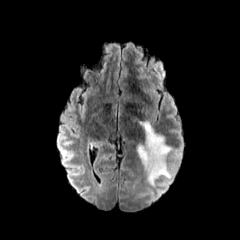
FLAIR MR image.
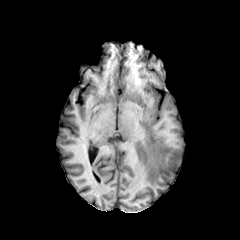
T1-weighted MR image of the same slice.
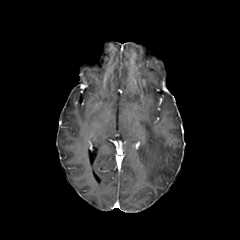
Post-contrast T1-weighted MR.
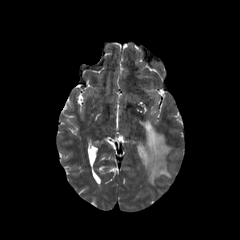
T2-weighted magnetic resonance of the same slice.
peritumoral edema = (137,122,172,185)